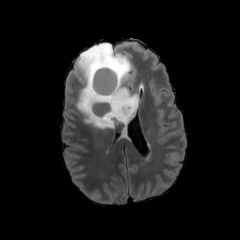
FLAIR magnetic resonance.
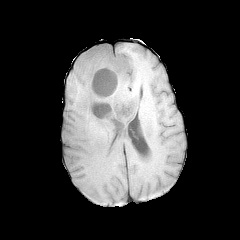
T1-weighted MR image.
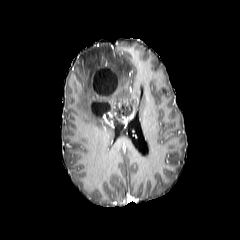
Same slice, post-contrast T1-weighted magnetic resonance.
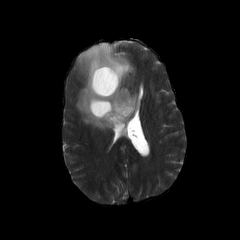
T2-weighted MR image.
Head
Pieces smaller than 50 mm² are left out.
2 necrotic tumor core regions are bounded by l=93, t=68, r=117, b=94; l=91, t=102, r=109, b=116. The 2 largest enhancing tumor regions are bounded by l=102, t=114, r=114, b=128; l=122, t=107, r=134, b=129. The peritumoral edema appears at l=75, t=43, r=138, b=129.